FLAIR MR.
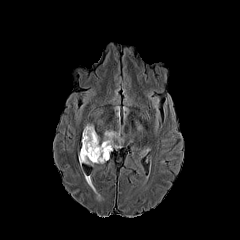
T1-weighted MR image.
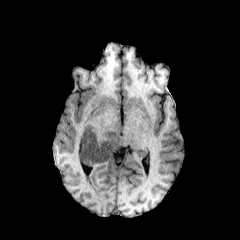
Post-contrast T1-weighted MR image.
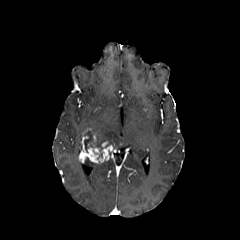
T2-weighted MRI.
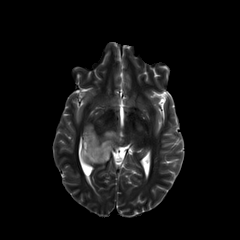
Axial view. 240x240 px. Head.
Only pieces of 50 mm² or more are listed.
<segmentation>
  <enhancing_tumor>79,128,112,163</enhancing_tumor>
  <necrotic_tumor_core>84,131,102,152</necrotic_tumor_core>
  <peritumoral_edema>103,126,121,146</peritumoral_edema>
</segmentation>